FLAIR magnetic resonance.
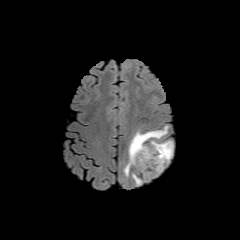
T1-weighted MR image.
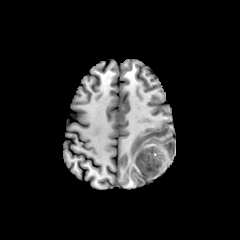
Post-contrast T1-weighted MRI.
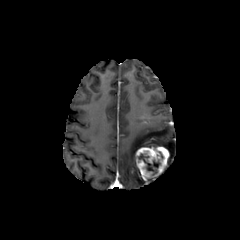
T2-weighted MR image.
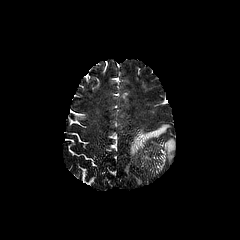
240x240
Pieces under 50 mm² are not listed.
peritumoral edema: {"x1": 156, "y1": 140, "x2": 173, "y2": 163}, {"x1": 132, "y1": 174, "x2": 142, "y2": 184}, {"x1": 124, "y1": 126, "x2": 168, "y2": 177} | enhancing tumor: {"x1": 135, "y1": 143, "x2": 169, "y2": 180} | necrotic tumor core: {"x1": 138, "y1": 154, "x2": 159, "y2": 173}